FLAIR MRI.
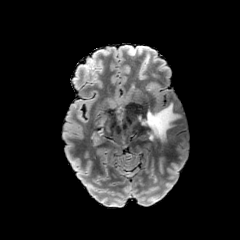
T1-weighted MRI.
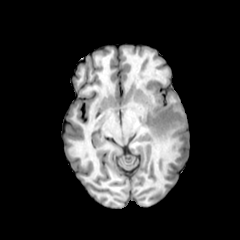
Post-contrast T1-weighted MR.
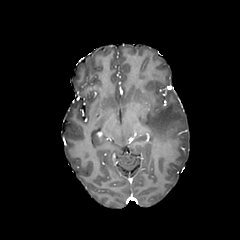
T2-weighted MR.
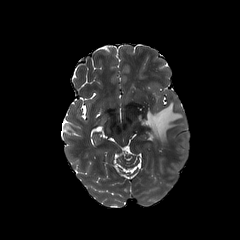
peritumoral edema: bounding box bbox(136, 103, 182, 141)